FLAIR MRI.
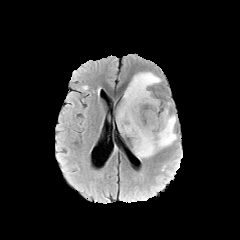
T1-weighted MR image.
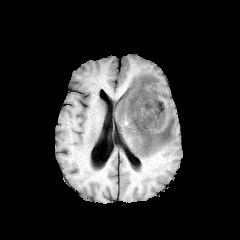
Post-contrast T1-weighted MR image.
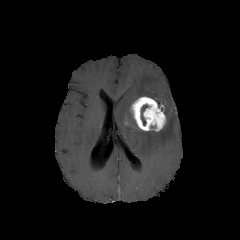
T2-weighted MR.
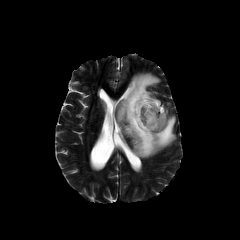
Image size 240x240. Axial plane.
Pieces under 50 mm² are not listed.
peritumoral edema: 116,72,177,159
enhancing tumor: 129,96,166,131
necrotic tumor core: 141,105,147,125